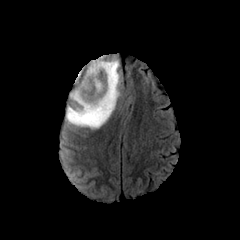
FLAIR magnetic resonance.
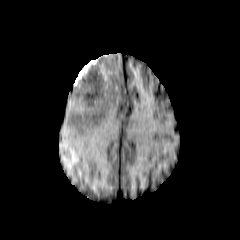
T1-weighted MR of the same slice.
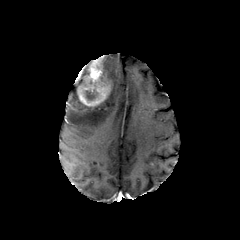
Post-contrast T1-weighted MRI.
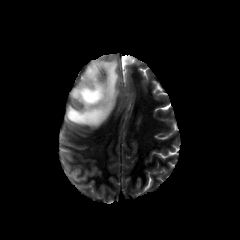
T2-weighted MR of the same slice.
Axial slice, Head, Image size 240x240
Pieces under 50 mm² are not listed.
{"peritumoral_edema": ["bbox(66, 55, 121, 127)"], "enhancing_tumor": ["bbox(76, 57, 112, 108)"]}